240x240 px, Slice index 57, Head
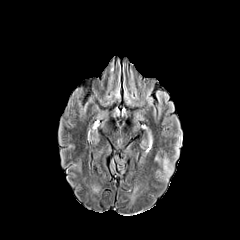
FLAIR MR.
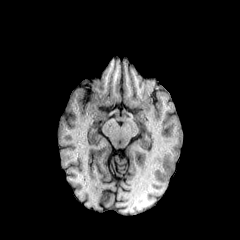
Same slice, T1-weighted MR image.
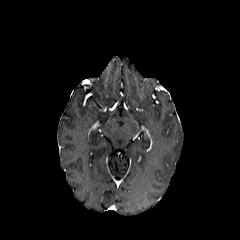
Post-contrast T1-weighted magnetic resonance of the same slice.
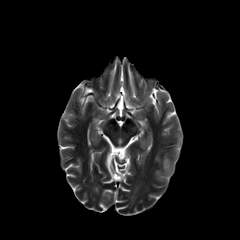
T2-weighted MR of the same slice.
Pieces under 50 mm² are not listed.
peritumoral_edema:
  - x1=163 y1=157 x2=172 y2=175